Axial slice | Slice 93 of 155 | Brain | Image width 240 mm, 1.00 mm slice spacing
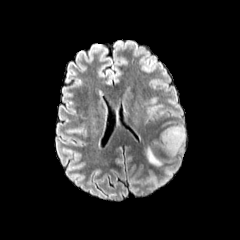
FLAIR MRI.
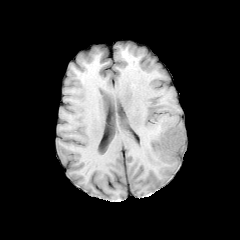
T1-weighted MR image.
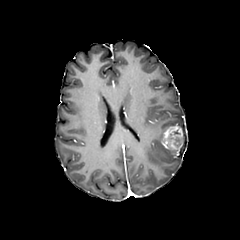
Same slice, post-contrast T1-weighted MR.
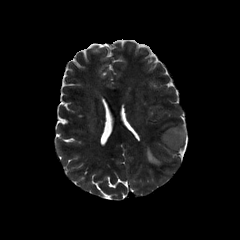
T2-weighted MRI of the same slice.
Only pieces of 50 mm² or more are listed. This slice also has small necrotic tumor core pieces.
Findings:
• peritumoral edema: (left=146, top=147, right=161, bottom=166), (left=160, top=141, right=181, bottom=158)
• enhancing tumor: (left=161, top=125, right=183, bottom=156)